Axial view.
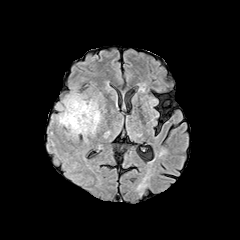
FLAIR magnetic resonance.
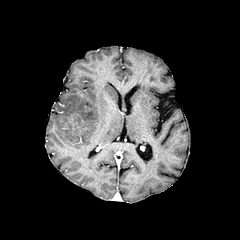
T1-weighted magnetic resonance.
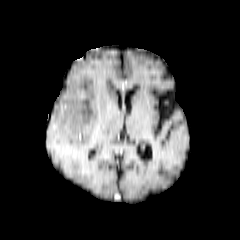
Post-contrast T1-weighted MRI.
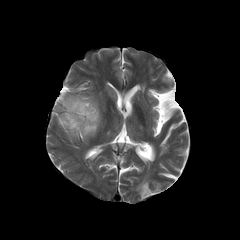
Same slice, T2-weighted MRI.
The peritumoral edema appears at rect(57, 92, 101, 140).